240x240 px; Axial slice
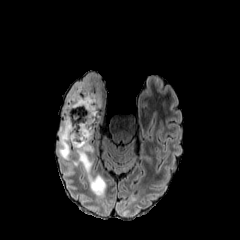
FLAIR MR.
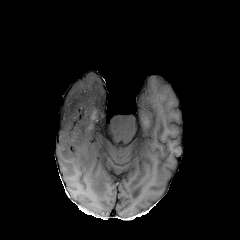
T1-weighted magnetic resonance.
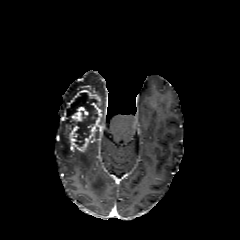
Post-contrast T1-weighted MR.
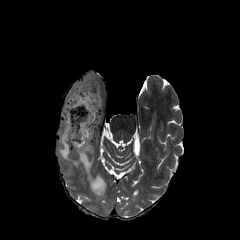
T2-weighted MR image.
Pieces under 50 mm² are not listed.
enhancing_tumor:
  - left=65, top=88, right=103, bottom=152
  - left=71, top=107, right=87, bottom=119
necrotic_tumor_core:
  - left=67, top=92, right=98, bottom=146
peritumoral_edema:
  - left=59, top=82, right=89, bottom=159
  - left=72, top=143, right=106, bottom=196